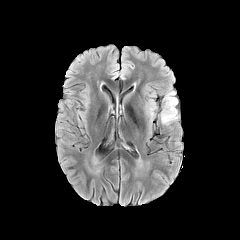
FLAIR MR image.
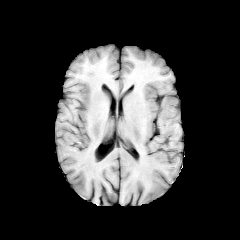
T1-weighted MR image.
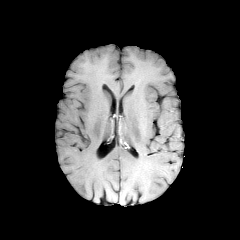
Post-contrast T1-weighted MR image.
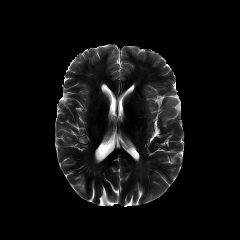
T2-weighted magnetic resonance of the same slice.
Brain.
peritumoral edema: x1=161, y1=92, x2=177, y2=124; x1=149, y1=103, x2=155, y2=116